FLAIR MR.
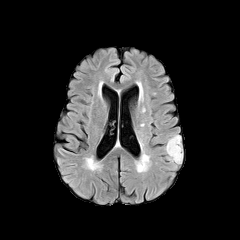
T1-weighted magnetic resonance.
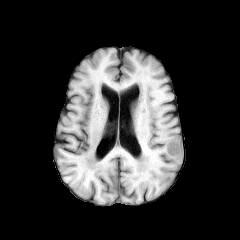
Post-contrast T1-weighted MR.
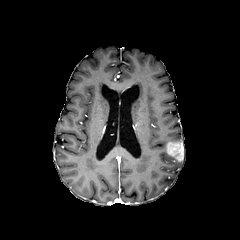
T2-weighted MR.
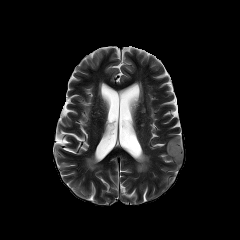
240x240. Axial view.
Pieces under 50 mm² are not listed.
Annotated regions:
• enhancing tumor: bbox(167, 140, 184, 163)
• peritumoral edema: bbox(167, 135, 181, 143); bbox(168, 154, 181, 163)